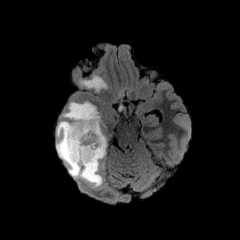
FLAIR MR image.
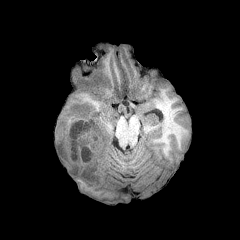
T1-weighted MR image.
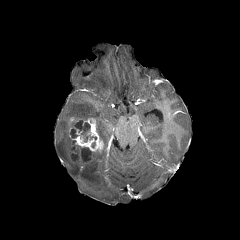
Post-contrast T1-weighted MR.
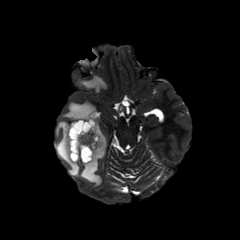
T2-weighted MR image.
Axial plane.
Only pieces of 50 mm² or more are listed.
necrotic tumor core = l=70, t=120, r=90, b=141; l=82, t=147, r=91, b=161
enhancing tumor = l=68, t=118, r=104, b=162
peritumoral edema = l=56, t=101, r=106, b=187; l=80, t=75, r=107, b=91